Head
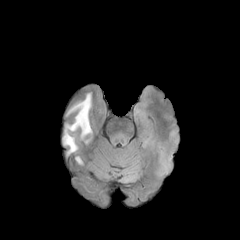
FLAIR MR image.
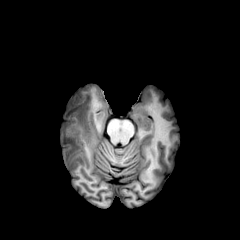
T1-weighted magnetic resonance of the same slice.
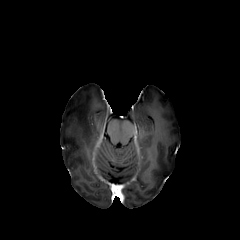
Post-contrast T1-weighted MR.
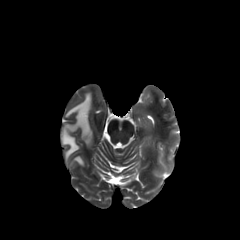
T2-weighted magnetic resonance of the same slice.
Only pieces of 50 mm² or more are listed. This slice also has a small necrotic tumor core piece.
The largest peritumoral edema region is bounded by x1=62, y1=93, x2=91, y2=155.